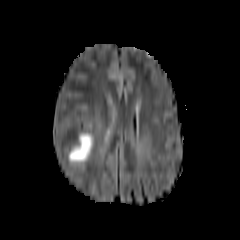
FLAIR MRI.
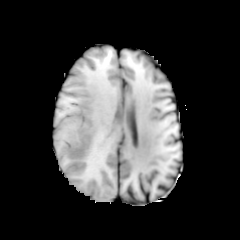
T1-weighted magnetic resonance.
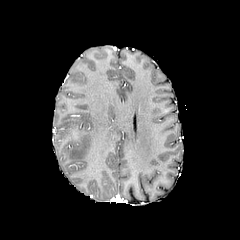
Post-contrast T1-weighted MRI of the same slice.
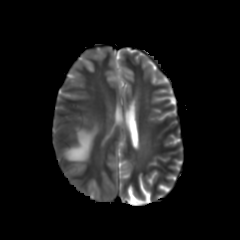
T2-weighted MR image of the same slice.
Brain. Image size 240x240.
<segmentation>
  <peritumoral_edema><box>69,133,93,162</box></peritumoral_edema>
</segmentation>